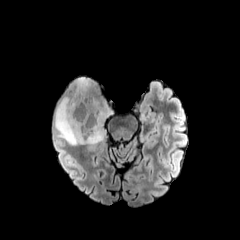
FLAIR MR image.
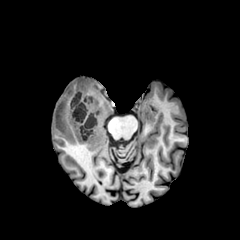
T1-weighted MRI.
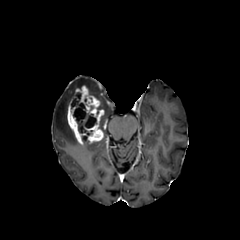
Same slice, post-contrast T1-weighted magnetic resonance.
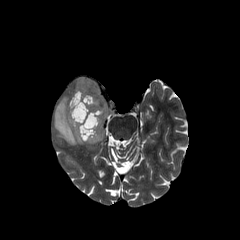
T2-weighted MRI of the same slice.
240x240 px. Brain. Axial view.
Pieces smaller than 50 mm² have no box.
The 2 largest necrotic tumor core regions are bounded by box=[85, 116, 95, 127]; box=[74, 103, 85, 121]. The enhancing tumor appears at box=[67, 85, 104, 144]. 2 peritumoral edema regions are located at box=[54, 96, 79, 145]; box=[74, 77, 112, 145].